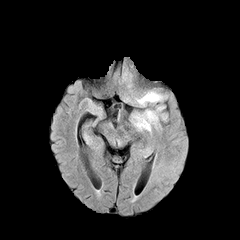
FLAIR magnetic resonance.
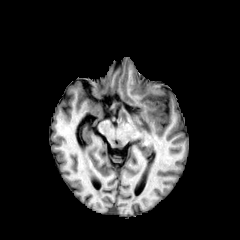
Same slice, T1-weighted magnetic resonance.
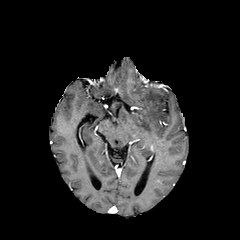
Post-contrast T1-weighted MR.
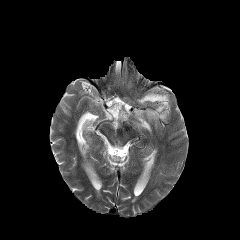
T2-weighted MR.
Axial plane
<segmentation>
  <peritumoral_edema>134, 106, 166, 131; 137, 91, 166, 105</peritumoral_edema>
</segmentation>